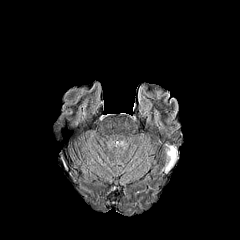
FLAIR magnetic resonance.
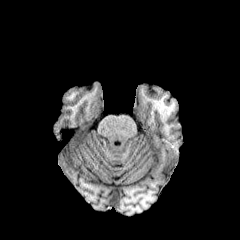
T1-weighted magnetic resonance.
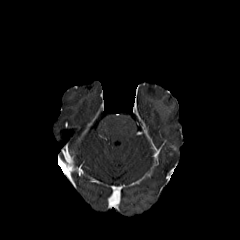
Post-contrast T1-weighted MRI.
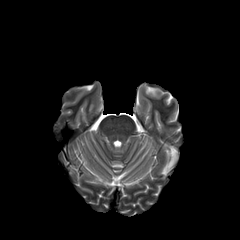
T2-weighted MR image.
240x240 px.
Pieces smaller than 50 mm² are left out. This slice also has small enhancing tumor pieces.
<segmentation>
  <peritumoral_edema>(x1=162, y1=144, x2=177, y2=172)</peritumoral_edema>
</segmentation>